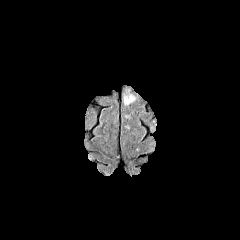
FLAIR magnetic resonance.
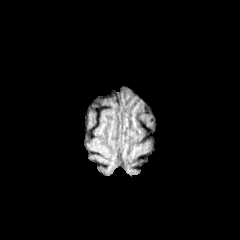
T1-weighted MR image.
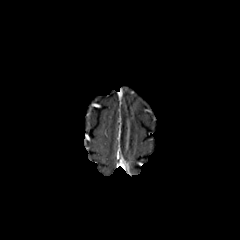
Post-contrast T1-weighted MRI.
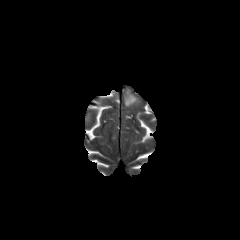
T2-weighted magnetic resonance.
Head
The peritumoral edema appears at l=123, t=93, r=135, b=104.